FLAIR MRI.
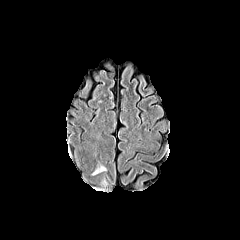
T1-weighted MR.
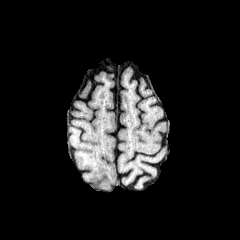
Post-contrast T1-weighted MRI.
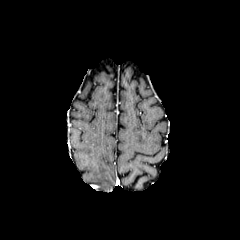
T2-weighted MR image.
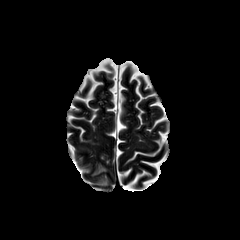
240x240; Head
The peritumoral edema lies within left=93, top=166, right=106, bottom=174.